FLAIR MRI.
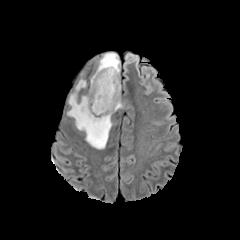
T1-weighted MRI.
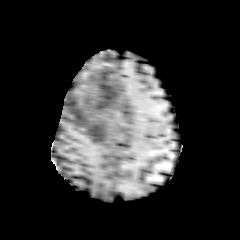
Post-contrast T1-weighted magnetic resonance.
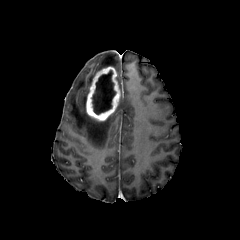
T2-weighted MRI.
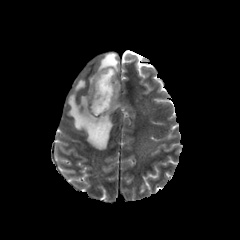
240x240 px.
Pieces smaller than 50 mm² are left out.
The enhancing tumor is at x1=86, y1=66, x2=120, y2=121. The 3 largest peritumoral edema regions are located at x1=97, y1=52, x2=119, y2=75; x1=67, y1=93, x2=113, y2=149; x1=75, y1=79, x2=85, y2=90. The necrotic tumor core appears at x1=92, y1=70, x2=115, y2=114.